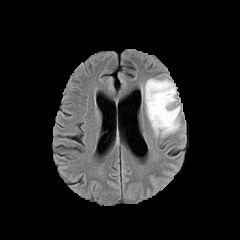
FLAIR MR.
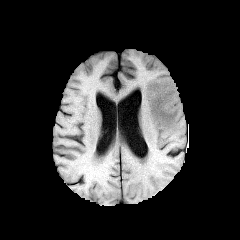
T1-weighted MR of the same slice.
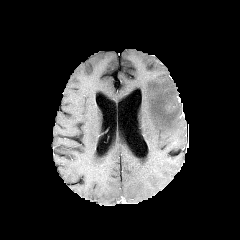
Post-contrast T1-weighted magnetic resonance.
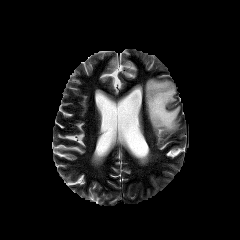
T2-weighted MR image of the same slice.
Brain.
• peritumoral edema: [x1=144, y1=78, x2=180, y2=136]